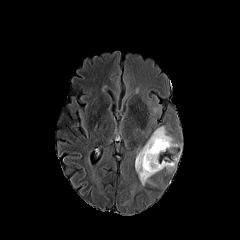
FLAIR magnetic resonance.
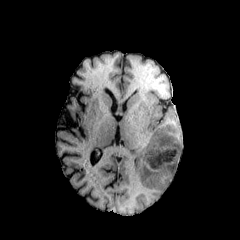
T1-weighted MR.
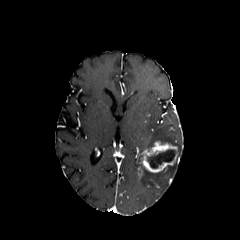
Post-contrast T1-weighted magnetic resonance.
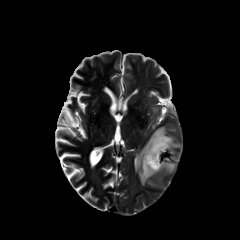
Same slice, T2-weighted magnetic resonance.
240x240 px
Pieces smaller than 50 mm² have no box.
<segmentation>
  <enhancing_tumor>(left=140, top=141, right=179, bottom=172)</enhancing_tumor>
  <peritumoral_edema>(left=165, top=163, right=176, bottom=172), (left=135, top=126, right=180, bottom=185)</peritumoral_edema>
  <necrotic_tumor_core>(left=147, top=150, right=175, bottom=168)</necrotic_tumor_core>
</segmentation>